FLAIR MR image.
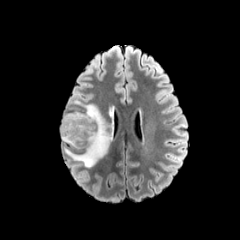
T1-weighted magnetic resonance.
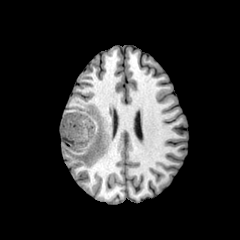
Post-contrast T1-weighted MR image.
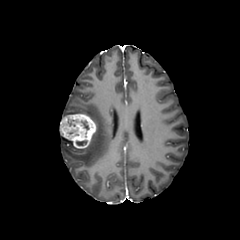
T2-weighted magnetic resonance.
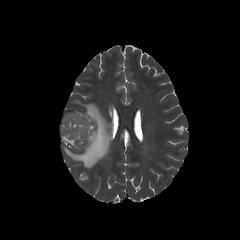
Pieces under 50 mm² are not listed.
The largest necrotic tumor core region is at <box>76,140,87,145</box>. The peritumoral edema appears at <box>61,104,111,167</box>. The enhancing tumor lies within <box>60,113,96,148</box>.